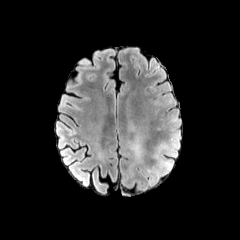
FLAIR MRI.
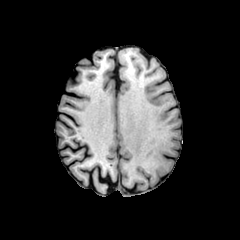
T1-weighted MR.
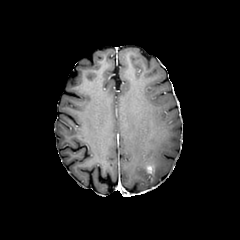
Post-contrast T1-weighted magnetic resonance of the same slice.
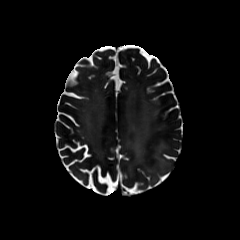
T2-weighted MRI of the same slice.
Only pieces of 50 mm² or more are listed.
The enhancing tumor is at (147,165,153,173). The 2 largest peritumoral edema regions are located at (147,166,156,182), (130,138,142,161).